Slice index 64; Brain; Axial view
FLAIR magnetic resonance.
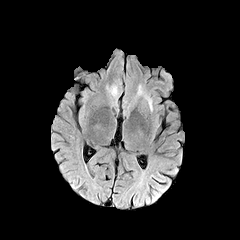
T1-weighted MR.
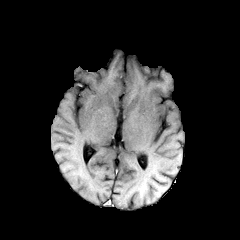
Post-contrast T1-weighted MRI.
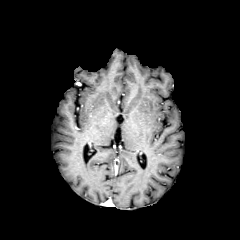
T2-weighted MR.
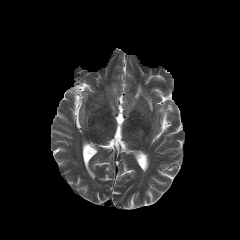
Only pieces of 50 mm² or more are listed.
peritumoral edema: box=[107, 85, 118, 101]; box=[144, 94, 152, 110]; box=[135, 85, 143, 97]